Slice index 93. Head. Image size 240x240.
FLAIR MR image.
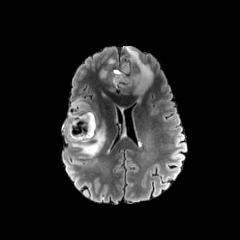
T1-weighted magnetic resonance.
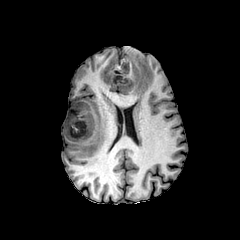
Post-contrast T1-weighted MRI.
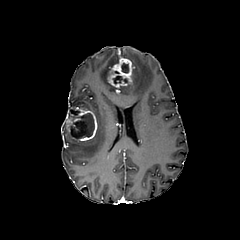
T2-weighted MR.
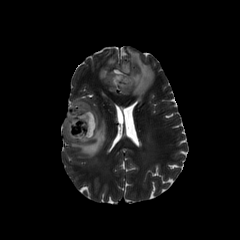
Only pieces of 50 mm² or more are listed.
peritumoral_edema:
  - 125 46 153 101
  - 71 99 89 109
  - 66 122 105 157
  - 100 68 108 78
enhancing_tumor:
  - 107 58 134 88
  - 64 106 97 141
necrotic_tumor_core:
  - 70 113 94 139
  - 121 63 128 72
  - 70 109 79 118
  - 113 76 127 83